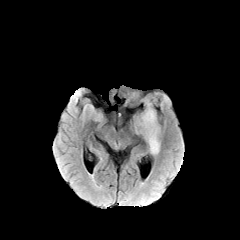
FLAIR magnetic resonance.
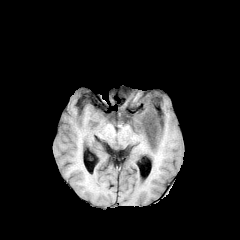
T1-weighted MR image of the same slice.
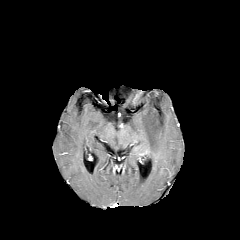
Post-contrast T1-weighted MR.
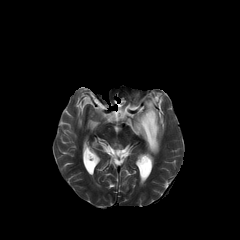
Same slice, T2-weighted MRI.
Axial view
The peritumoral edema appears at 134:102:160:154.